Head. 240x240 px.
FLAIR magnetic resonance.
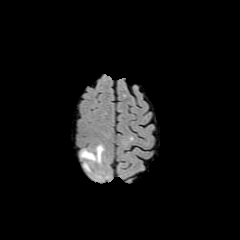
T1-weighted MRI.
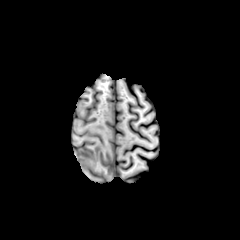
Post-contrast T1-weighted MR.
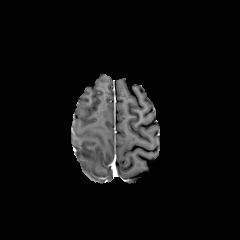
T2-weighted MRI.
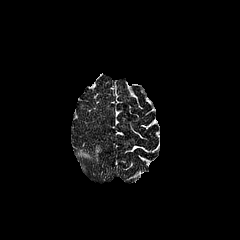
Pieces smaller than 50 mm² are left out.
The largest peritumoral edema region lies within (x1=81, y1=145, x2=103, y2=161).